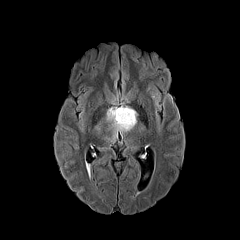
FLAIR MR image.
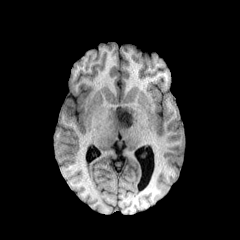
Same slice, T1-weighted magnetic resonance.
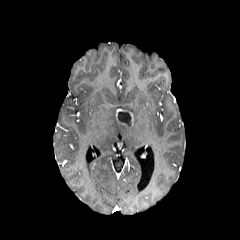
Post-contrast T1-weighted magnetic resonance.
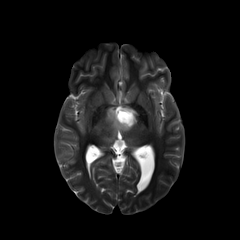
T2-weighted MRI.
Brain
The necrotic tumor core is located at (117, 111, 131, 126). The peritumoral edema is at (106, 105, 137, 142). The enhancing tumor is at (115, 108, 133, 127).